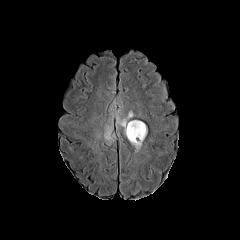
FLAIR MR.
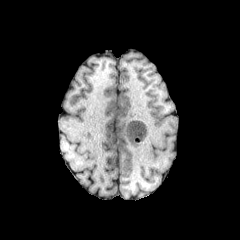
T1-weighted MRI.
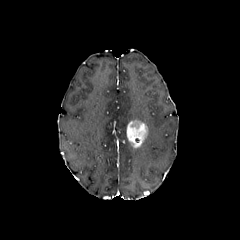
Post-contrast T1-weighted MR image.
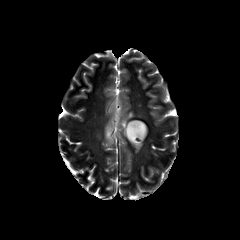
T2-weighted MRI of the same slice.
240x240 px | Axial view | Head
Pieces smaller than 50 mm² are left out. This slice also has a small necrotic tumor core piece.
peritumoral edema: <box>113,110,133,136</box>, <box>104,127,112,140</box> | enhancing tumor: <box>126,120,147,148</box>